FLAIR MR.
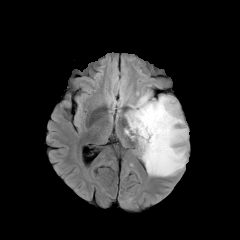
T1-weighted magnetic resonance.
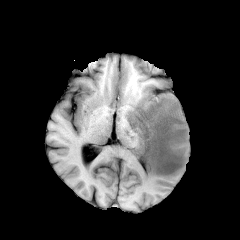
Post-contrast T1-weighted MR.
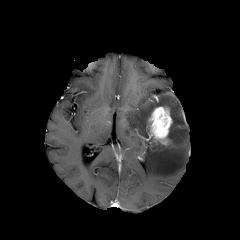
T2-weighted magnetic resonance.
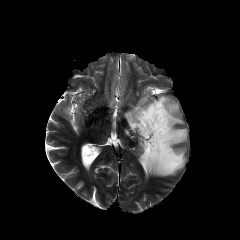
Brain
<segmentation>
  <peritumoral_edema>left=125, top=92, right=188, bottom=176</peritumoral_edema>
  <enhancing_tumor>left=147, top=106, right=172, bottom=143</enhancing_tumor>
</segmentation>